FLAIR magnetic resonance.
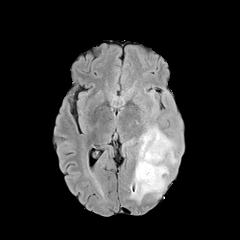
T1-weighted magnetic resonance.
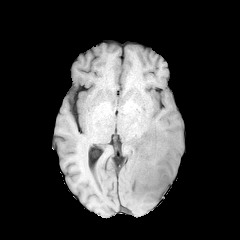
Post-contrast T1-weighted MR image.
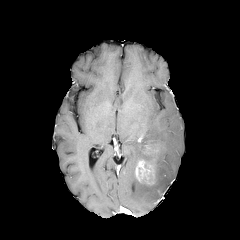
T2-weighted MRI.
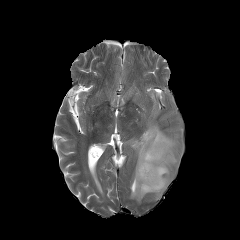
Axial view.
Segmented structures:
- peritumoral edema: left=130, top=124, right=177, bottom=202
- enhancing tumor: left=135, top=159, right=155, bottom=184